FLAIR MRI.
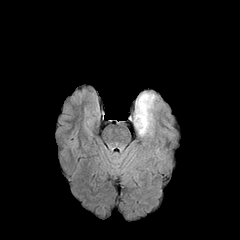
T1-weighted MR image.
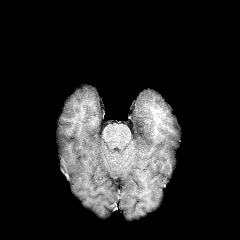
Post-contrast T1-weighted magnetic resonance.
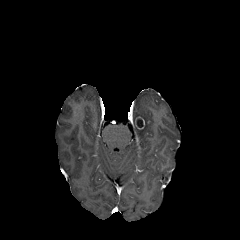
T2-weighted magnetic resonance.
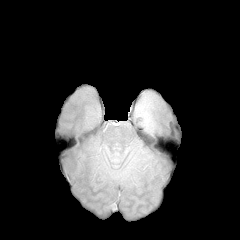
Head
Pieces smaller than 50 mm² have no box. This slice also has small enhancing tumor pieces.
peritumoral edema: bounding box (x1=134, y1=92, x2=157, y2=135)
necrotic tumor core: bounding box (x1=137, y1=118, x2=143, y2=127)